Slice 92 of 155. Axial slice.
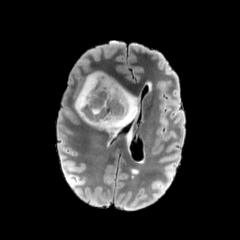
FLAIR MR image.
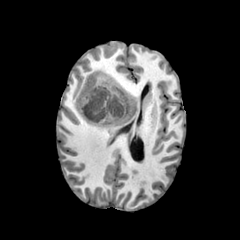
Same slice, T1-weighted magnetic resonance.
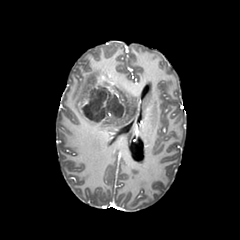
Same slice, post-contrast T1-weighted MR.
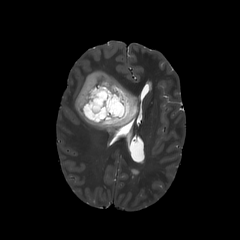
T2-weighted MR.
The necrotic tumor core is bounded by bbox(82, 89, 123, 121). The peritumoral edema lies within bbox(74, 71, 138, 133). 2 enhancing tumor regions are bounded by bbox(88, 111, 120, 122); bbox(81, 75, 127, 117).